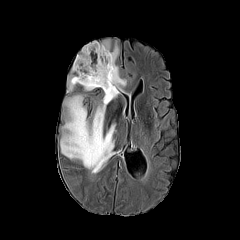
FLAIR MR.
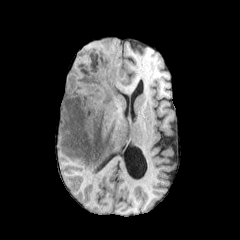
Same slice, T1-weighted MR image.
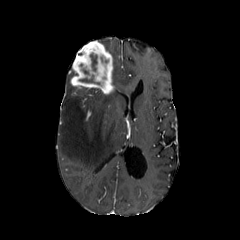
Post-contrast T1-weighted MR image.
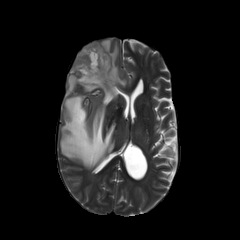
T2-weighted magnetic resonance.
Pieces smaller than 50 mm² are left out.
necrotic tumor core: [x1=79, y1=78, x2=95, y2=82], [x1=90, y1=53, x2=96, y2=70]
enhancing tumor: [x1=70, y1=41, x2=114, y2=94]
peritumoral edema: [x1=67, y1=75, x2=74, y2=92], [x1=60, y1=88, x2=119, y2=169], [x1=102, y1=40, x2=126, y2=91]